FLAIR magnetic resonance.
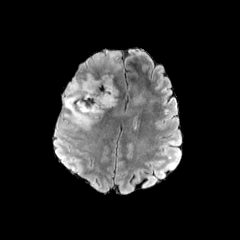
T1-weighted MR.
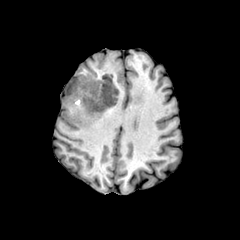
Post-contrast T1-weighted MRI.
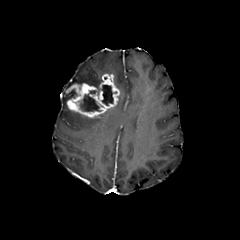
T2-weighted MR.
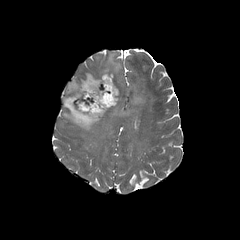
Brain, Axial plane
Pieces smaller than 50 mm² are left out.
enhancing tumor: (65,73,119,118) | peritumoral edema: (62,91,103,130), (134,92,144,104), (107,52,119,71), (67,70,109,87) | necrotic tumor core: (78,94,99,111), (102,85,113,105)